FLAIR MRI.
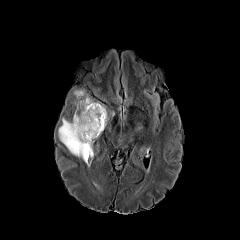
T1-weighted MRI.
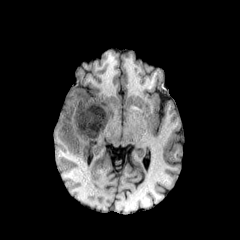
Post-contrast T1-weighted MR.
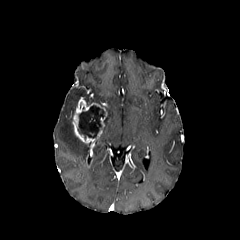
T2-weighted magnetic resonance.
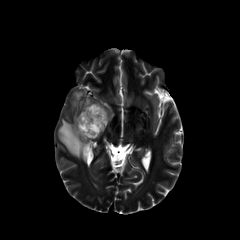
Axial slice. Head.
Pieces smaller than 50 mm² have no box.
peritumoral edema: (left=58, top=118, right=89, bottom=162), (left=72, top=89, right=85, bottom=107)
enhancing tumor: (left=72, top=97, right=107, bottom=143)
necrotic tumor core: (left=77, top=105, right=105, bottom=139)